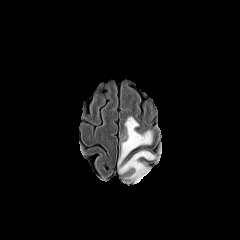
FLAIR MR.
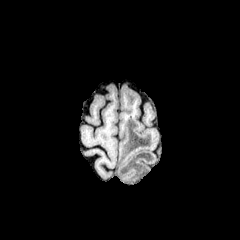
T1-weighted MR image of the same slice.
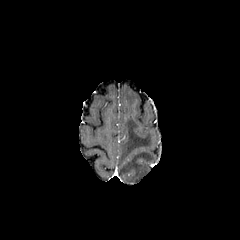
Post-contrast T1-weighted MR.
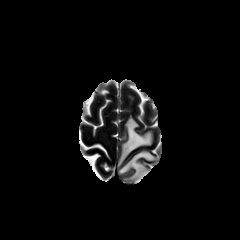
T2-weighted MR.
Brain
peritumoral edema — (x1=118, y1=116, x2=155, y2=183)